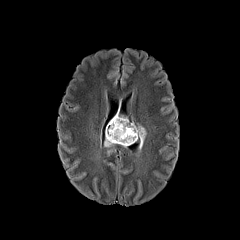
FLAIR MR.
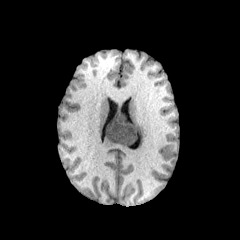
T1-weighted MR.
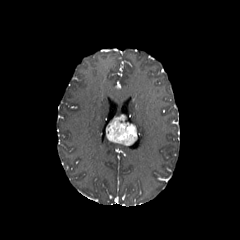
Post-contrast T1-weighted MR of the same slice.
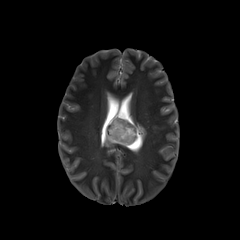
T2-weighted MRI.
240x240, Axial slice, Head
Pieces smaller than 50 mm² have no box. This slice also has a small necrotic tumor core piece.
peritumoral edema = (x1=104, y1=137, x2=115, y2=147), (x1=136, y1=124, x2=146, y2=149)
enhancing tumor = (x1=106, y1=115, x2=139, y2=145)